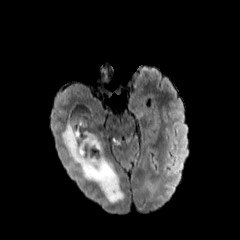
FLAIR MR image.
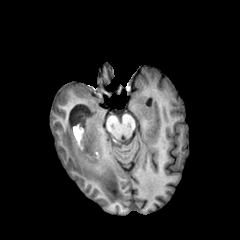
T1-weighted MR image.
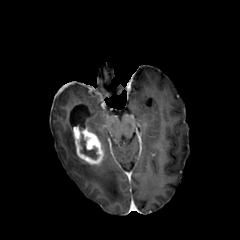
Same slice, post-contrast T1-weighted MR image.
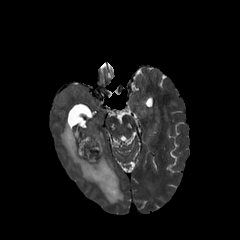
T2-weighted MR image.
Axial slice
{"peritumoral_edema": ["box(62, 121, 124, 203)"], "necrotic_tumor_core": ["box(80, 133, 97, 158)"], "enhancing_tumor": ["box(73, 122, 103, 165)"]}